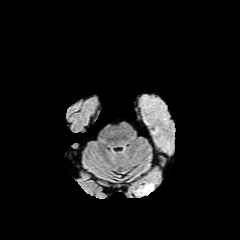
FLAIR MR image.
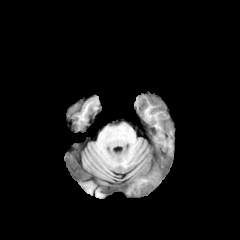
T1-weighted magnetic resonance.
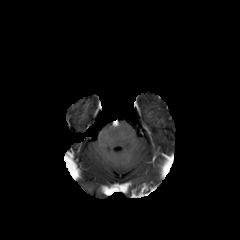
Post-contrast T1-weighted MR image.
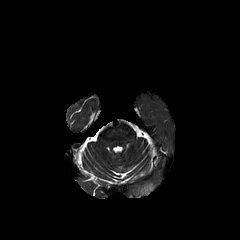
T2-weighted magnetic resonance.
240x240 px
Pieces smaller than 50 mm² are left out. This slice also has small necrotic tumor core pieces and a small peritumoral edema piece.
enhancing tumor: x1=132 y1=183 x2=155 y2=197